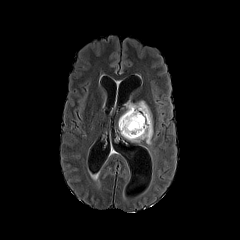
FLAIR MR image.
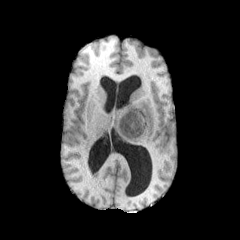
T1-weighted magnetic resonance.
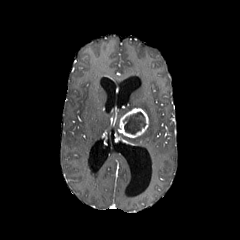
Post-contrast T1-weighted MR image.
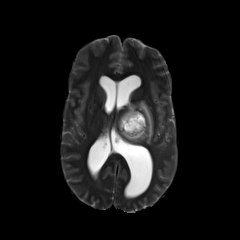
T2-weighted MR of the same slice.
Axial plane
enhancing tumor: bbox=[119, 108, 148, 138]
necrotic tumor core: bbox=[123, 112, 145, 134]
peritumoral edema: bbox=[125, 101, 153, 144]